FLAIR MR.
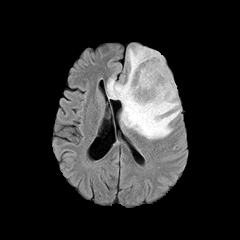
T1-weighted MRI.
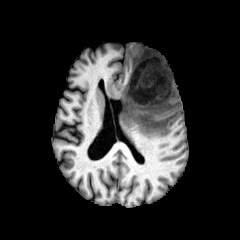
Post-contrast T1-weighted MR.
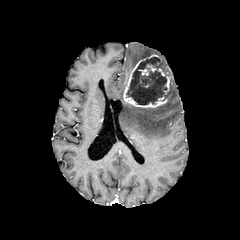
T2-weighted MRI.
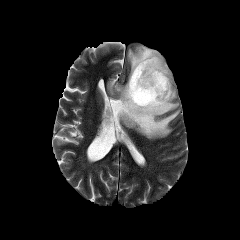
Axial plane
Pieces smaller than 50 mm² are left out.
2 peritumoral edema regions appear at 107, 76, 180, 139; 127, 45, 171, 79. The largest necrotic tumor core region appears at 126, 57, 169, 104. The 3 largest enhancing tumor regions are located at 123, 58, 167, 107; 139, 68, 148, 82; 162, 75, 171, 94.